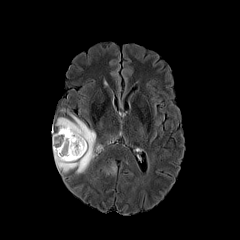
FLAIR MR image.
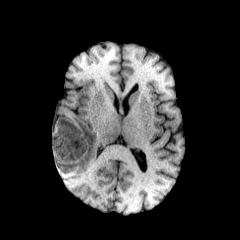
T1-weighted MR.
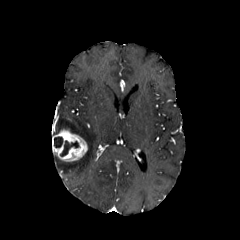
Same slice, post-contrast T1-weighted MRI.
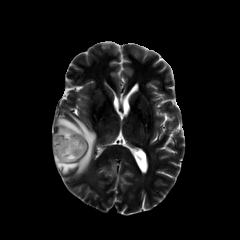
T2-weighted MR image of the same slice.
Head | Axial view
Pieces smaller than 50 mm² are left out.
{"peritumoral_edema": ["(54, 113, 96, 174)"], "enhancing_tumor": ["(52, 129, 87, 161)"], "necrotic_tumor_core": ["(60, 140, 78, 156)", "(54, 137, 62, 147)"]}